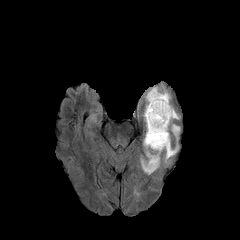
FLAIR MR image.
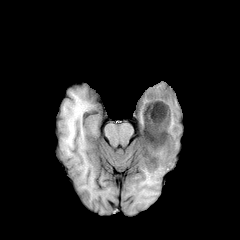
T1-weighted magnetic resonance.
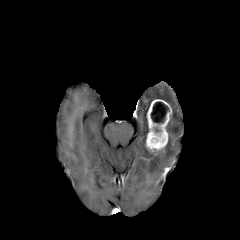
Post-contrast T1-weighted MR image.
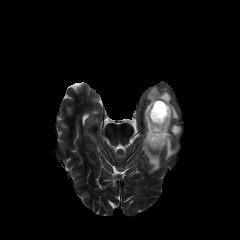
T2-weighted magnetic resonance.
240x240; Axial slice
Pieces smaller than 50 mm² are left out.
Findings:
• necrotic tumor core: region(151, 102, 168, 123)
• enhancing tumor: region(145, 99, 172, 151)
• peritumoral edema: region(141, 86, 180, 174)